Slice 130 of 155; Head
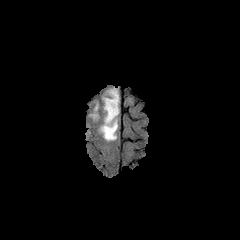
FLAIR MR.
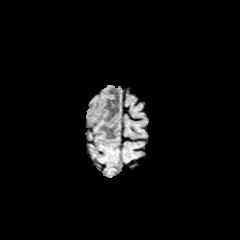
Same slice, T1-weighted MRI.
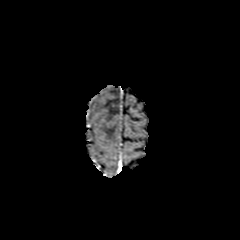
Post-contrast T1-weighted MRI.
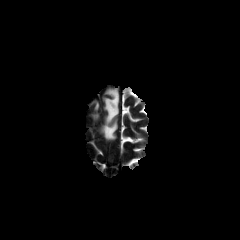
T2-weighted MRI.
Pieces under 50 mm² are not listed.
peritumoral edema: bounding box 100:89:118:140